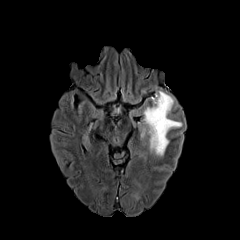
FLAIR MR.
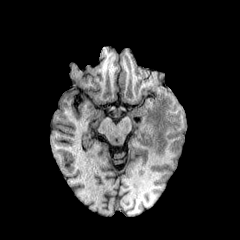
T1-weighted MRI.
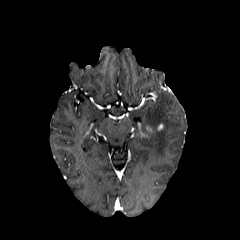
Post-contrast T1-weighted MR of the same slice.
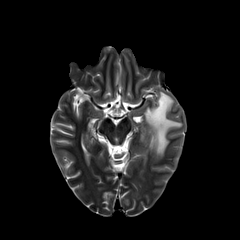
T2-weighted MR of the same slice.
Axial plane, 240x240
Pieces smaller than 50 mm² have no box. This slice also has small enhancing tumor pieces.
{"peritumoral_edema": ["left=142, top=91, right=182, bottom=156"]}